Axial slice
FLAIR magnetic resonance.
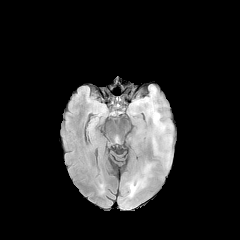
T1-weighted magnetic resonance.
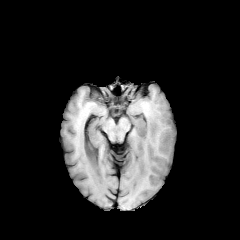
Post-contrast T1-weighted MRI.
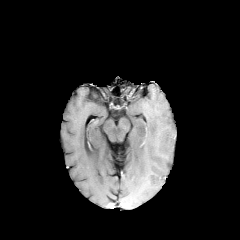
T2-weighted MR.
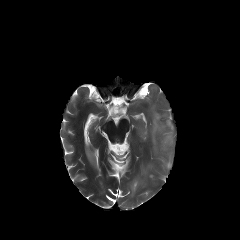
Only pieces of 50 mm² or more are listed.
<segmentation>
  <peritumoral_edema>bbox=[153, 112, 165, 132]; bbox=[131, 180, 142, 190]</peritumoral_edema>
</segmentation>